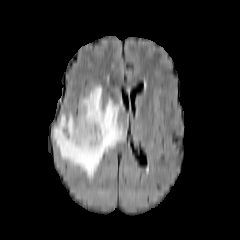
FLAIR MRI.
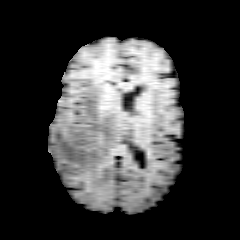
T1-weighted magnetic resonance.
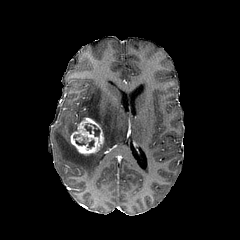
Post-contrast T1-weighted MRI.
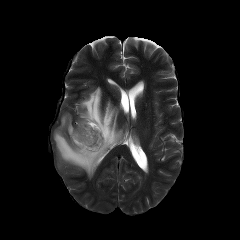
Same slice, T2-weighted magnetic resonance.
Head
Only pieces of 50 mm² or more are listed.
Annotated regions:
* enhancing tumor: bbox=[70, 117, 104, 155]
* peritumoral edema: bbox=[53, 86, 125, 178]
* necrotic tumor core: bbox=[90, 123, 100, 136]